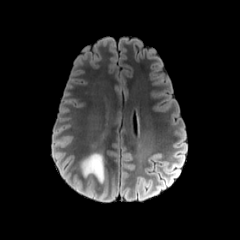
FLAIR magnetic resonance.
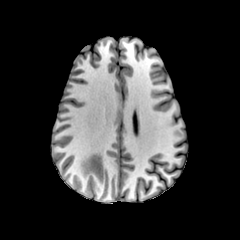
Same slice, T1-weighted magnetic resonance.
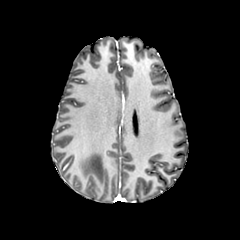
Same slice, post-contrast T1-weighted MRI.
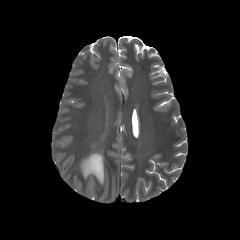
T2-weighted MR.
Axial view. Head. Image size 240x240.
peritumoral edema: box(81, 153, 104, 182)